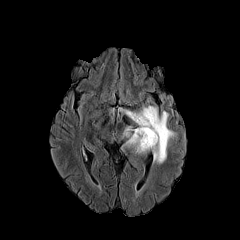
FLAIR MR.
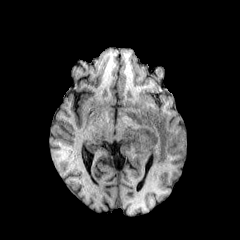
T1-weighted magnetic resonance.
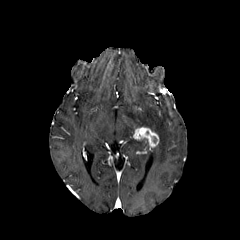
Post-contrast T1-weighted MR image.
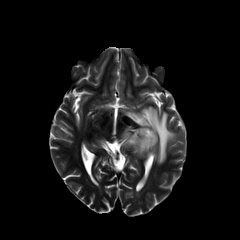
T2-weighted MR of the same slice.
Axial plane
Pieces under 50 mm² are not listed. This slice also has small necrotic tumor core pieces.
peritumoral edema — 122:138:149:152, 121:126:134:138, 129:106:175:163
enhancing tumor — 131:127:159:149